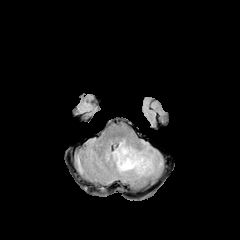
FLAIR MRI.
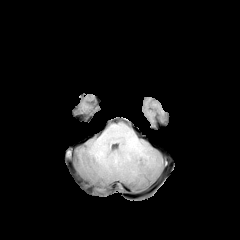
T1-weighted MR of the same slice.
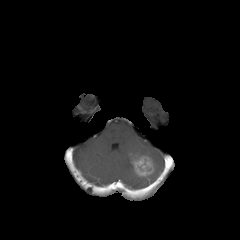
Same slice, post-contrast T1-weighted MR image.
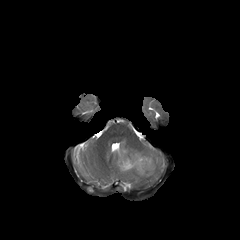
T2-weighted MR image of the same slice.
Axial view, Brain
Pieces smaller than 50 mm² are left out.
The largest peritumoral edema region is at box=[111, 139, 162, 181]. The largest enhancing tumor region appears at box=[131, 155, 154, 176].